FLAIR MR image.
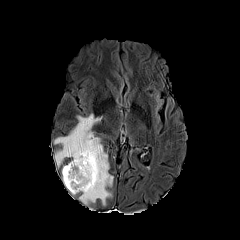
T1-weighted MR image.
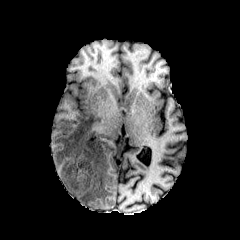
Post-contrast T1-weighted MR image.
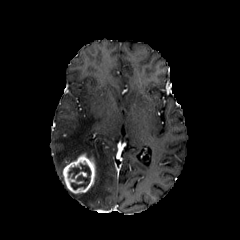
T2-weighted MR image.
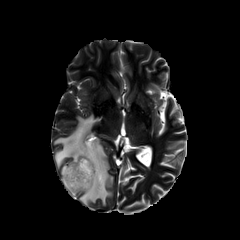
Head; 240x240
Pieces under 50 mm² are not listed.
Findings:
• peritumoral edema: region(54, 113, 113, 205)
• necrotic tumor core: region(68, 164, 90, 189)
• enhancing tumor: region(63, 153, 95, 193)